Slice 93 of 155. Brain. 240x240 px. Image covers 240 mm x 240 mm.
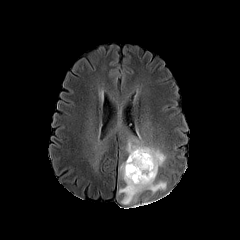
FLAIR MR.
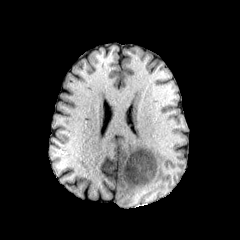
T1-weighted magnetic resonance.
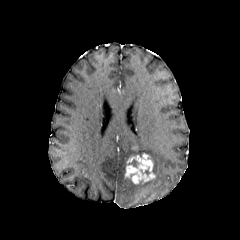
Post-contrast T1-weighted MRI of the same slice.
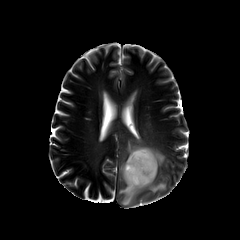
T2-weighted MR of the same slice.
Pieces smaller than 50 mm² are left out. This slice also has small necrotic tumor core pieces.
<segmentation>
  <enhancing_tumor>box(124, 153, 155, 184)</enhancing_tumor>
  <peritumoral_edema>box(118, 134, 166, 205)</peritumoral_edema>
</segmentation>